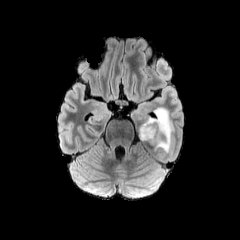
FLAIR MR.
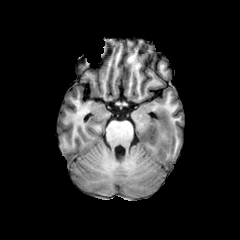
T1-weighted MR of the same slice.
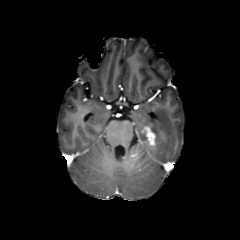
Post-contrast T1-weighted magnetic resonance.
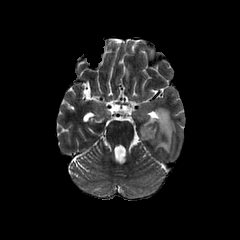
T2-weighted magnetic resonance.
Axial view; Brain
The peritumoral edema is located at {"x1": 137, "y1": 106, "x2": 173, "y2": 151}. The enhancing tumor is bounded by {"x1": 141, "y1": 126, "x2": 155, "y2": 145}.